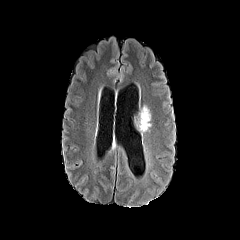
FLAIR MRI.
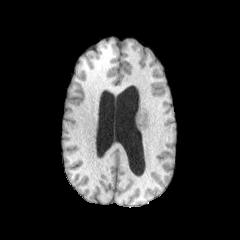
T1-weighted MR.
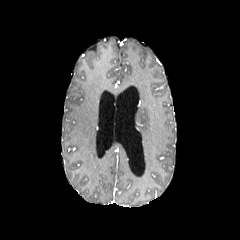
Post-contrast T1-weighted MRI.
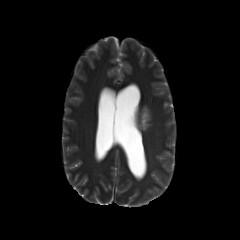
T2-weighted magnetic resonance.
Brain
{
  "peritumoral_edema": [
    "[139, 105, 151, 133]"
  ]
}